FLAIR MRI.
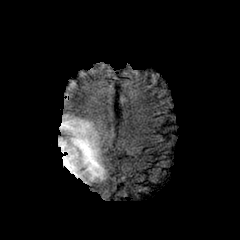
T1-weighted MR image.
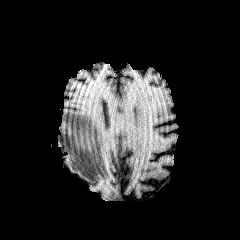
Post-contrast T1-weighted MR.
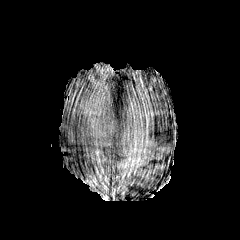
T2-weighted MRI.
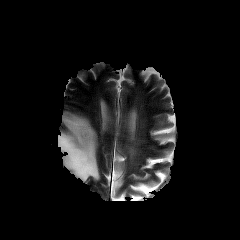
Brain | Axial slice
The peritumoral edema lies within 58 112 106 181.